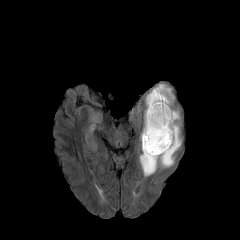
FLAIR MR.
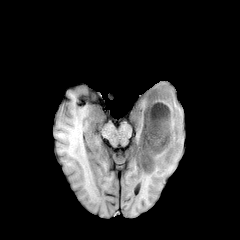
T1-weighted magnetic resonance.
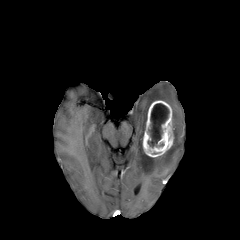
Post-contrast T1-weighted MR.
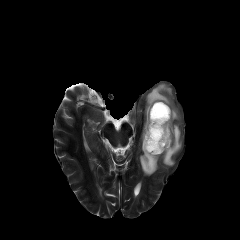
T2-weighted MR.
240x240 px. Axial view. Head.
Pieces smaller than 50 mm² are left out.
{"necrotic_tumor_core": ["x1=148 y1=103 x2=168 y2=147"], "peritumoral_edema": ["x1=139 y1=83 x2=181 y2=176"], "enhancing_tumor": ["x1=143 y1=100 x2=173 y2=157"]}